Axial slice, Image width 240 mm, 1.00 mm slice spacing, Head, Image size 240x240
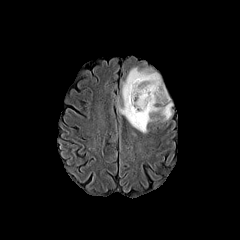
FLAIR magnetic resonance.
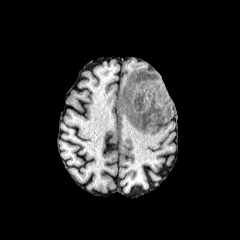
T1-weighted MR.
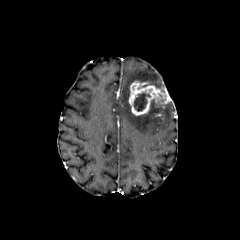
Post-contrast T1-weighted MR.
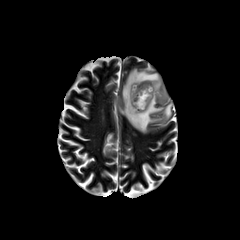
T2-weighted MR.
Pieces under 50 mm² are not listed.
peritumoral_edema:
  - x1=118 y1=67 x2=172 y2=133
necrotic_tumor_core:
  - x1=134 y1=93 x2=150 y2=111
enhancing_tumor:
  - x1=128 y1=80 x2=169 y2=115